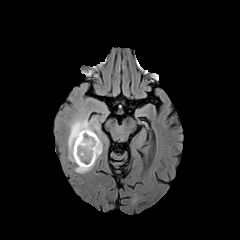
FLAIR MRI.
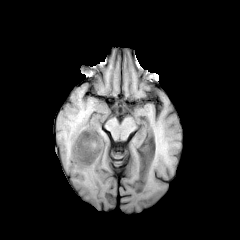
T1-weighted MRI.
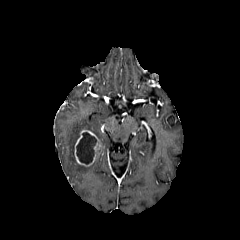
Same slice, post-contrast T1-weighted MRI.
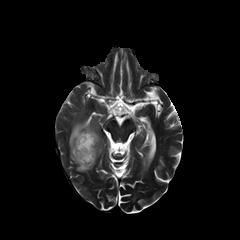
T2-weighted MR.
Axial plane, Image size 240x240
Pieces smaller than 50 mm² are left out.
{
  "necrotic_tumor_core": [
    "box=[76, 132, 96, 164]"
  ],
  "peritumoral_edema": [
    "box=[62, 82, 109, 173]"
  ],
  "enhancing_tumor": [
    "box=[74, 130, 101, 166]"
  ]
}